Axial plane, Head
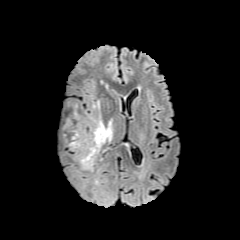
FLAIR MR image.
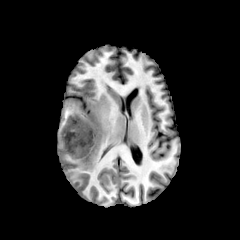
Same slice, T1-weighted MRI.
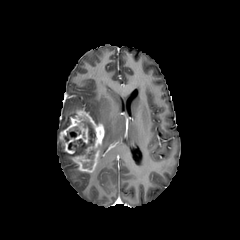
Same slice, post-contrast T1-weighted MRI.
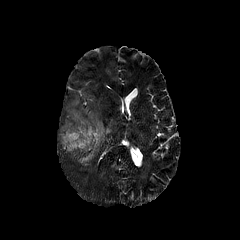
Same slice, T2-weighted magnetic resonance.
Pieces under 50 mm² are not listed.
Findings:
• necrotic tumor core: 68, 117, 95, 155; 83, 150, 95, 169; 64, 127, 80, 141
• peritumoral edema: 89, 100, 103, 125; 100, 119, 112, 149
• enhancing tumor: 59, 109, 104, 172